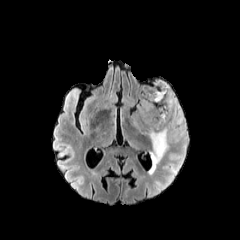
FLAIR magnetic resonance.
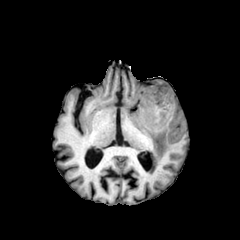
T1-weighted MR image.
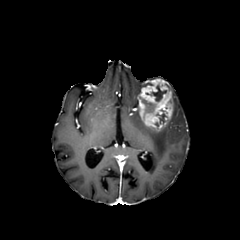
Post-contrast T1-weighted MR image of the same slice.
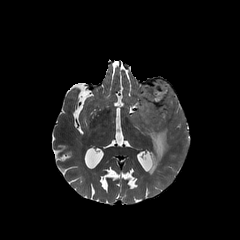
T2-weighted MRI.
Image size 240x240
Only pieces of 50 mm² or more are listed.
enhancing tumor at (x1=138, y1=79, x2=173, y2=131)
peritumoral edema at (x1=172, y1=92, x2=183, y2=124), (x1=143, y1=127, x2=168, y2=173)
necrotic tumor core at (x1=156, y1=110, x2=166, y2=123), (x1=142, y1=100, x2=154, y2=112), (x1=146, y1=85, x2=166, y2=101)